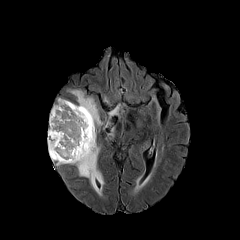
FLAIR MRI.
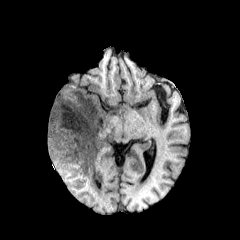
T1-weighted MR of the same slice.
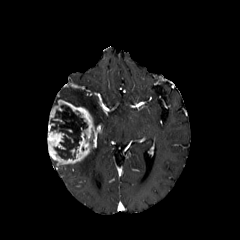
Post-contrast T1-weighted magnetic resonance.
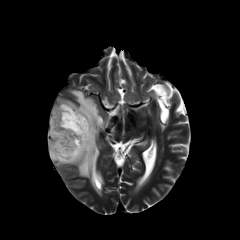
T2-weighted MRI.
240x240 px. Head. Axial plane.
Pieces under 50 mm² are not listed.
<segmentation>
  <necrotic_tumor_core>l=50, t=105, r=87, b=159</necrotic_tumor_core>
  <peritumoral_edema>l=70, t=90, r=101, b=127; l=109, t=105, r=119, b=118; l=74, t=147, r=103, b=194</peritumoral_edema>
  <enhancing_tumor>l=47, t=99, r=96, b=165</enhancing_tumor>
</segmentation>